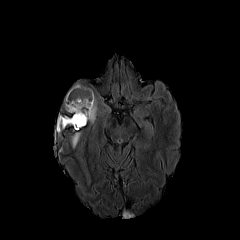
FLAIR MRI.
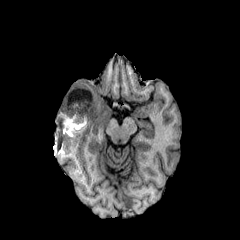
T1-weighted MRI.
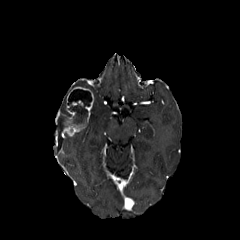
Post-contrast T1-weighted MR image.
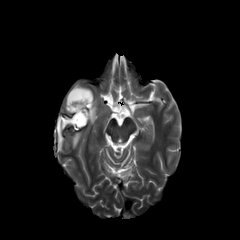
T2-weighted MR image.
Axial view | 240x240 px | Brain
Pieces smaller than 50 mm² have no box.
{"enhancing_tumor": ["[66,86,94,121]", "[64,125,83,135]"], "necrotic_tumor_core": ["[58,89,92,131]"], "peritumoral_edema": ["[89,96,98,124]", "[70,132,81,148]"]}